Brain, Axial slice
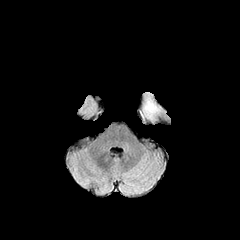
FLAIR MRI.
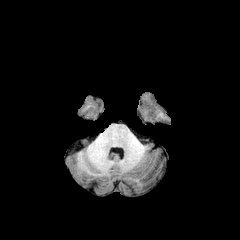
Same slice, T1-weighted MR.
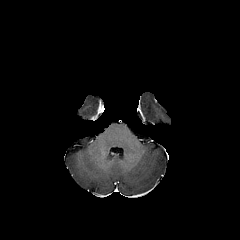
Post-contrast T1-weighted magnetic resonance.
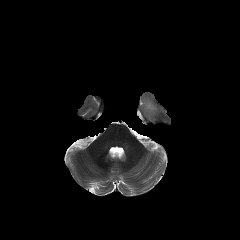
T2-weighted MR.
peritumoral edema: <box>143,98,158,119</box>